Axial slice, 240x240 px
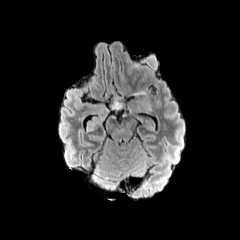
FLAIR MR.
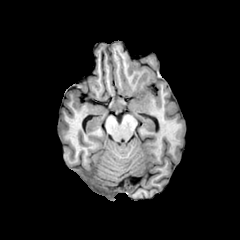
T1-weighted magnetic resonance.
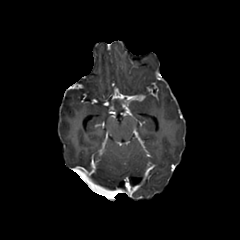
Post-contrast T1-weighted MR of the same slice.
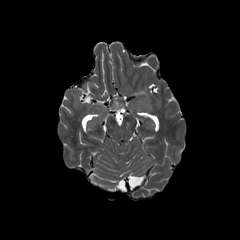
T2-weighted MR image.
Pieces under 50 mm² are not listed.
enhancing_tumor:
  - 147 84 158 98
  - 124 95 145 106
peritumoral_edema:
  - 134 89 151 110
  - 113 102 123 109